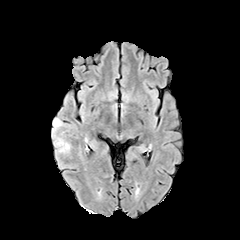
FLAIR MR.
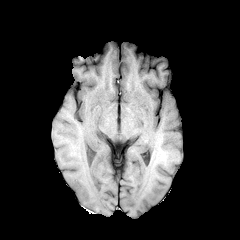
T1-weighted magnetic resonance.
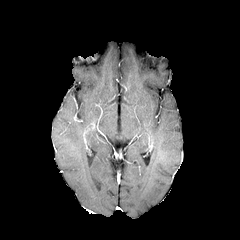
Post-contrast T1-weighted MR.
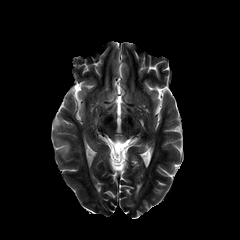
T2-weighted MRI.
Head. Image size 240x240.
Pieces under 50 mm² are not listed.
peritumoral_edema:
  - 56 140 70 148